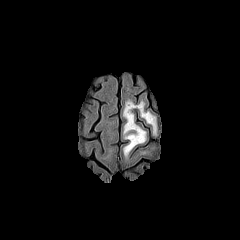
FLAIR MR image.
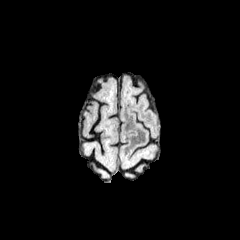
Same slice, T1-weighted MRI.
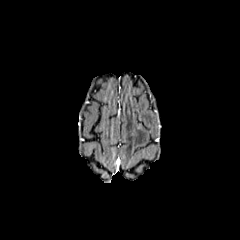
Post-contrast T1-weighted MRI.
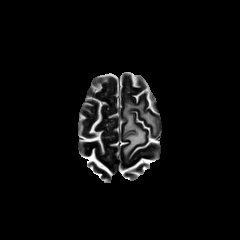
Same slice, T2-weighted MR image.
Annotated regions:
- peritumoral edema: bbox=[123, 100, 156, 157]